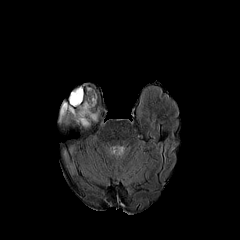
FLAIR magnetic resonance.
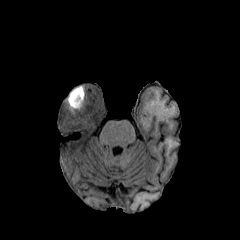
Same slice, T1-weighted MR image.
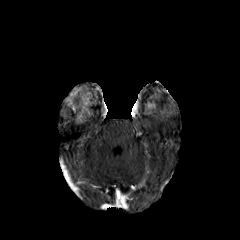
Post-contrast T1-weighted MRI.
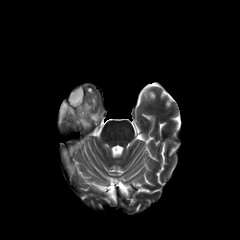
T2-weighted magnetic resonance of the same slice.
240x240 px. Brain.
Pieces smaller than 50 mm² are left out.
Segmented structures:
- necrotic tumor core: 69:88:83:106
- peritumoral edema: 82:112:97:126
- enhancing tumor: 60:85:97:123